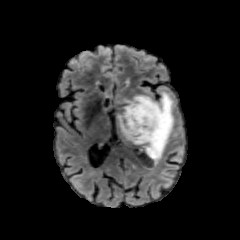
FLAIR MRI.
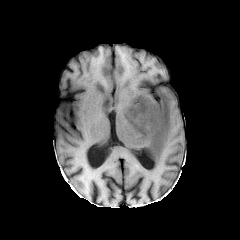
T1-weighted MR image.
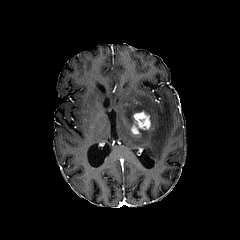
Post-contrast T1-weighted MRI of the same slice.
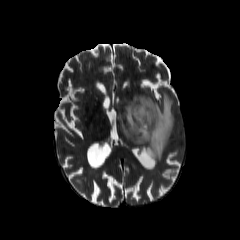
Same slice, T2-weighted MR image.
Brain
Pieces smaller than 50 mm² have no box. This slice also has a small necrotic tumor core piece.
enhancing tumor: (x1=130, y1=111, x2=151, y2=134) | peritumoral edema: (x1=114, y1=91, x2=174, y2=170)